Slice 122 of 155; Image covers 240 mm x 240 mm; 240x240 px
FLAIR MRI.
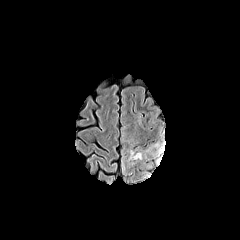
T1-weighted MR.
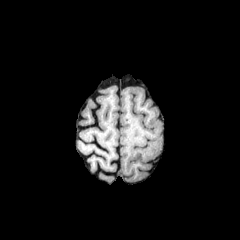
Post-contrast T1-weighted magnetic resonance.
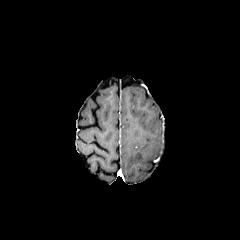
T2-weighted MR image.
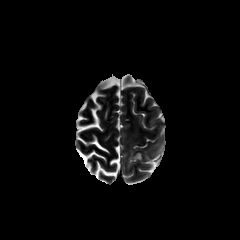
The peritumoral edema is at 121:126:165:175.